FLAIR MR.
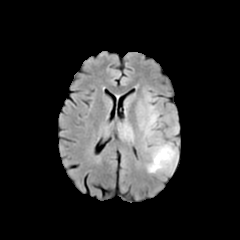
T1-weighted MR.
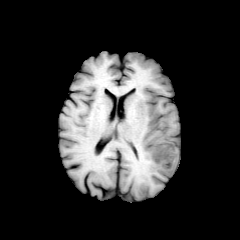
Post-contrast T1-weighted MRI.
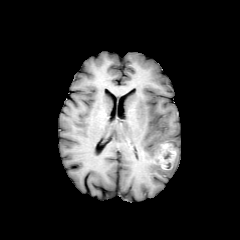
T2-weighted magnetic resonance.
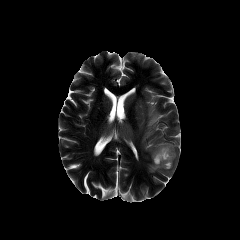
240x240 px. Brain. Axial slice.
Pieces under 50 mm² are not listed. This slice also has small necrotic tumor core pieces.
Findings:
* peritumoral edema: 139:93:178:174
* enhancing tumor: 154:143:176:169